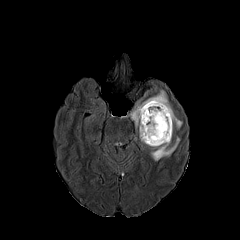
FLAIR MRI.
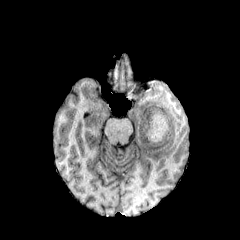
Same slice, T1-weighted MR image.
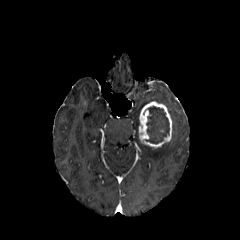
Post-contrast T1-weighted MR image of the same slice.
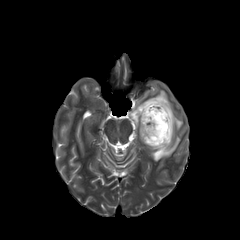
T2-weighted MRI.
Brain
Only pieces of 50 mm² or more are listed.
<segmentation>
  <enhancing_tumor>l=139, t=101, r=172, b=148</enhancing_tumor>
  <necrotic_tumor_core>l=146, t=106, r=169, b=143</necrotic_tumor_core>
  <peritumoral_edema>l=130, t=81, r=184, b=160</peritumoral_edema>
</segmentation>